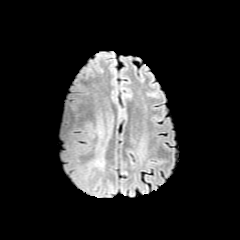
FLAIR MRI.
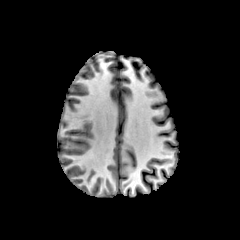
T1-weighted magnetic resonance.
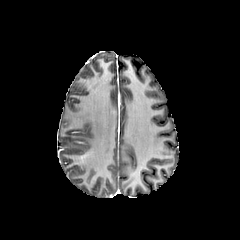
Post-contrast T1-weighted MR.
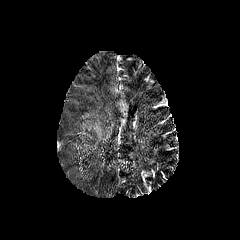
T2-weighted MR image of the same slice.
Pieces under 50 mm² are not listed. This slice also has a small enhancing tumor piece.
peritumoral_edema:
  - 90:119:114:172